Image covers 240 mm x 240 mm.
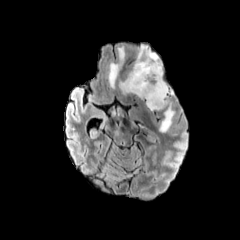
FLAIR MR.
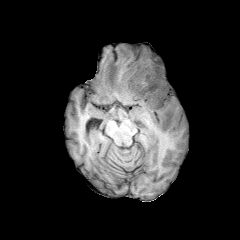
T1-weighted MR image of the same slice.
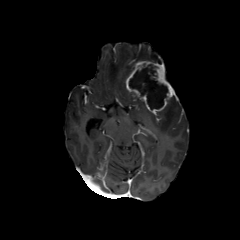
Post-contrast T1-weighted MR image.
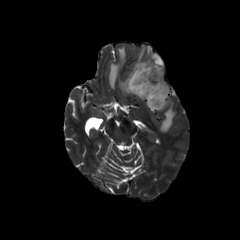
T2-weighted MR of the same slice.
{"necrotic_tumor_core": [{"x1": 129, "y1": 64, "x2": 167, "y2": 109}], "enhancing_tumor": [{"x1": 125, "y1": 60, "x2": 177, "y2": 113}], "peritumoral_edema": [{"x1": 108, "y1": 46, "x2": 125, "y2": 87}, {"x1": 118, "y1": 44, "x2": 162, "y2": 94}, {"x1": 159, "y1": 96, "x2": 175, "y2": 132}]}